FLAIR MR.
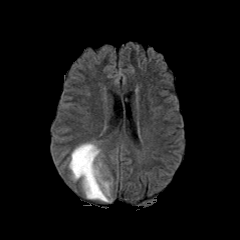
T1-weighted magnetic resonance.
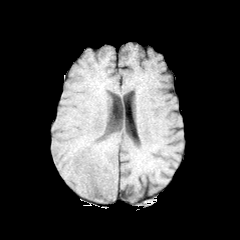
Post-contrast T1-weighted MR.
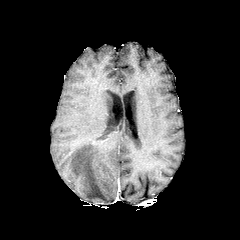
T2-weighted MR.
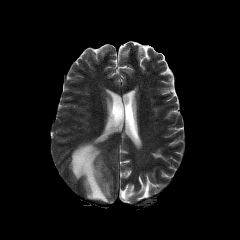
Axial slice
peritumoral edema: bounding box 69 142 111 202